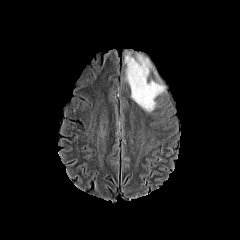
FLAIR magnetic resonance.
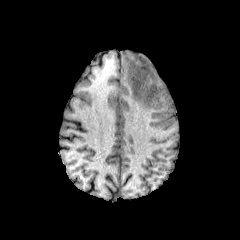
Same slice, T1-weighted MR image.
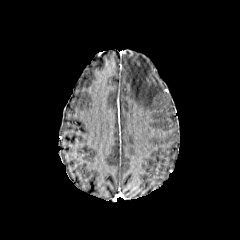
Same slice, post-contrast T1-weighted MR.
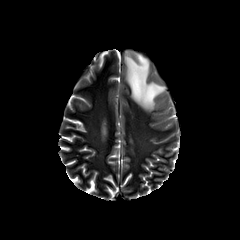
T2-weighted MR image.
Brain. Axial slice. 240x240 px.
peritumoral_edema:
  - 124 51 166 111